FLAIR MR image.
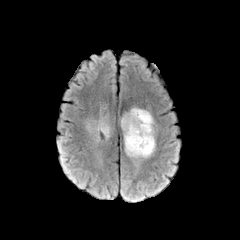
T1-weighted magnetic resonance.
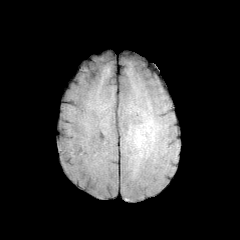
Post-contrast T1-weighted MRI.
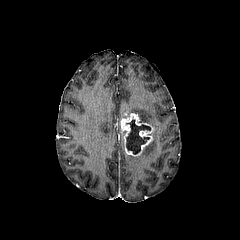
T2-weighted MR image.
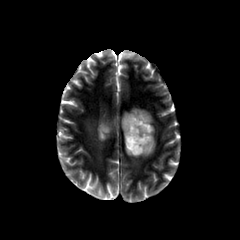
Head, Axial view
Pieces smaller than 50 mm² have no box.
The 3 largest peritumoral edema regions are bounded by x1=135, y1=128, x2=155, y2=157; x1=97, y1=121, x2=111, y2=136; x1=126, y1=108, x2=153, y2=125. The necrotic tumor core is at x1=126, y1=119, x2=150, y2=154. The enhancing tumor is at x1=120, y1=113, x2=153, y2=156.